FLAIR magnetic resonance.
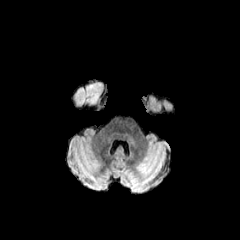
T1-weighted MR image.
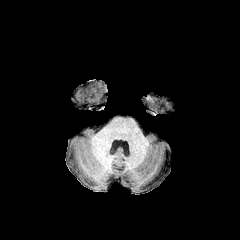
Post-contrast T1-weighted MR image.
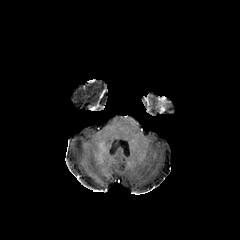
T2-weighted magnetic resonance.
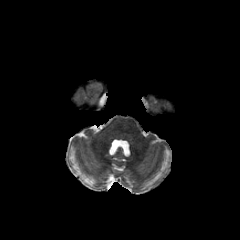
Brain.
The peritumoral edema is at (71, 81, 103, 109).